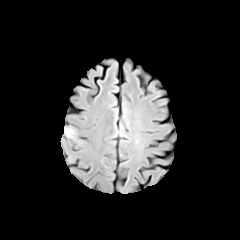
FLAIR MR image.
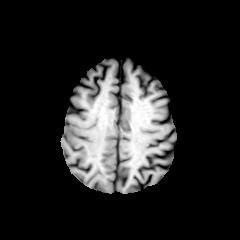
T1-weighted magnetic resonance.
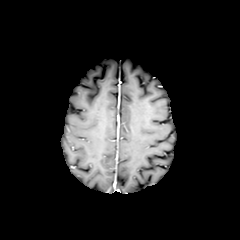
Post-contrast T1-weighted MR image of the same slice.
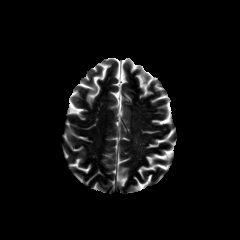
T2-weighted magnetic resonance of the same slice.
Brain.
Findings:
• peritumoral edema: <box>64,127,76,138</box>